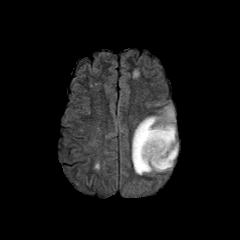
FLAIR MR image.
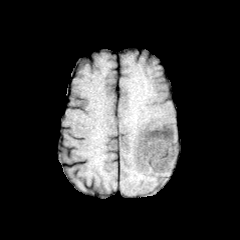
Same slice, T1-weighted MR image.
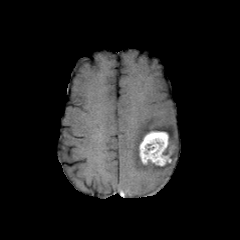
Post-contrast T1-weighted MRI.
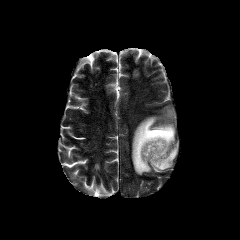
Same slice, T2-weighted MR image.
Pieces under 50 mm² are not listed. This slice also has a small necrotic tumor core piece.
The enhancing tumor appears at 139, 130, 175, 166. The peritumoral edema lies within 132, 106, 178, 174.